FLAIR magnetic resonance.
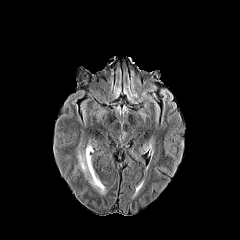
T1-weighted MR.
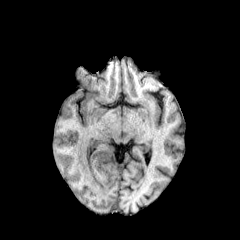
Post-contrast T1-weighted MR image.
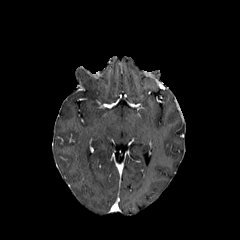
T2-weighted MR.
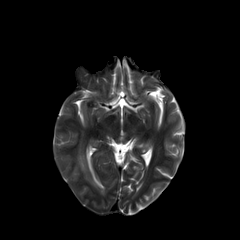
240x240, Axial plane
peritumoral edema: x1=78 y1=145 x2=105 y2=193